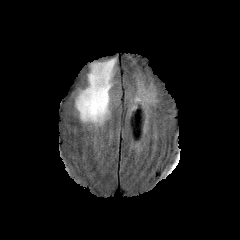
FLAIR MR image.
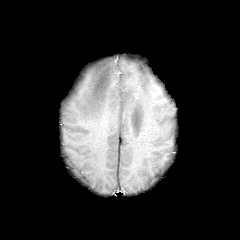
T1-weighted MR image.
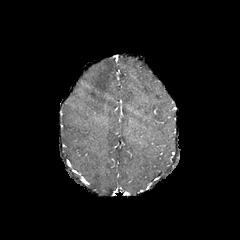
Post-contrast T1-weighted MR of the same slice.
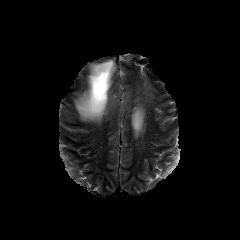
Same slice, T2-weighted magnetic resonance.
peritumoral edema at rect(75, 59, 115, 123)